FLAIR MR.
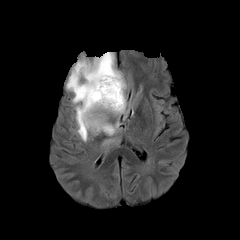
T1-weighted MR image.
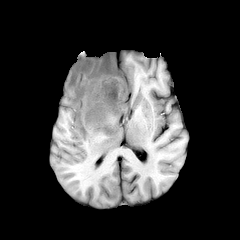
Post-contrast T1-weighted MR image.
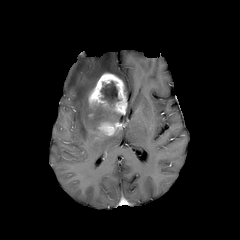
T2-weighted MR image.
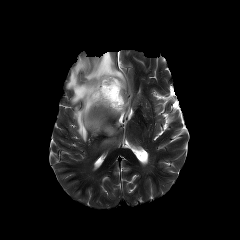
enhancing tumor = region(84, 73, 127, 135)
peritumoral edema = region(66, 52, 126, 141)
necrotic tumor core = region(100, 80, 121, 105)